Image width 240 mm, 1.00 mm slice spacing. Axial slice. 240x240 px.
FLAIR MR.
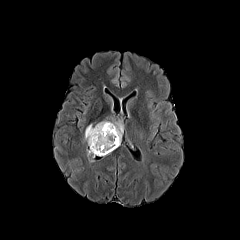
T1-weighted MRI.
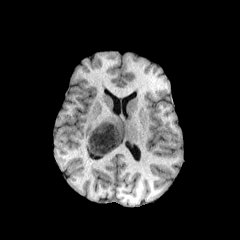
Post-contrast T1-weighted magnetic resonance.
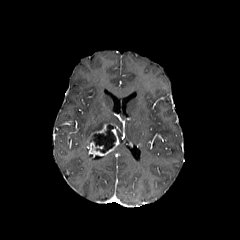
T2-weighted magnetic resonance.
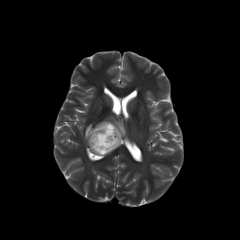
{
  "necrotic_tumor_core": [
    {"x1": 89, "y1": 125, "x2": 116, "y2": 153}
  ],
  "peritumoral_edema": [
    {"x1": 84, "y1": 118, "x2": 122, "y2": 143}
  ],
  "enhancing_tumor": [
    {"x1": 87, "y1": 123, "x2": 119, "y2": 155}
  ]
}